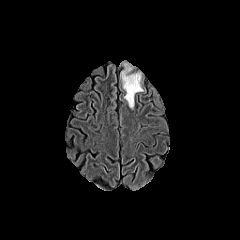
FLAIR MR image.
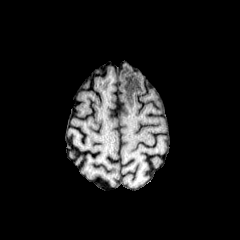
T1-weighted MR.
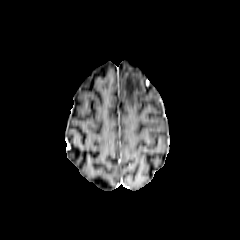
Post-contrast T1-weighted MR.
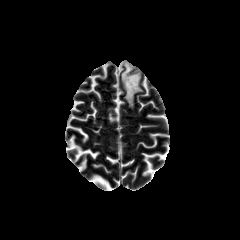
T2-weighted MRI.
Brain.
peritumoral edema: 121,63,142,108